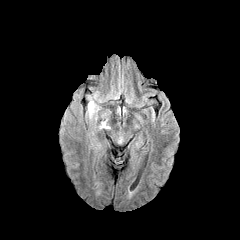
FLAIR MR.
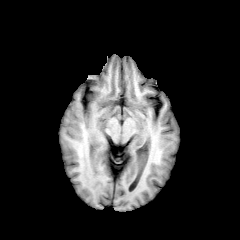
T1-weighted magnetic resonance.
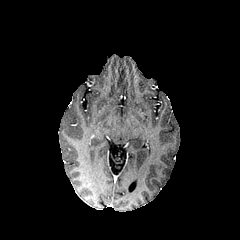
Post-contrast T1-weighted magnetic resonance.
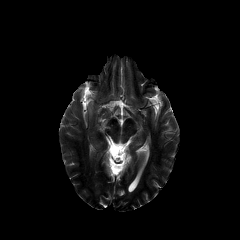
T2-weighted MR.
Brain. 240x240 px. Axial plane.
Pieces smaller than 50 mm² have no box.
- peritumoral edema: bbox=[89, 101, 93, 114]